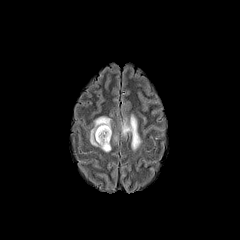
FLAIR MR.
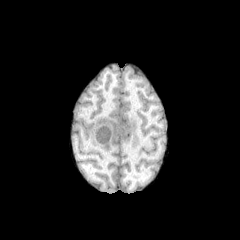
T1-weighted magnetic resonance.
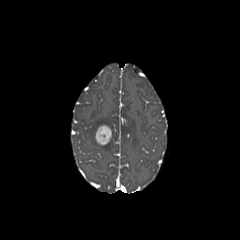
Post-contrast T1-weighted MRI.
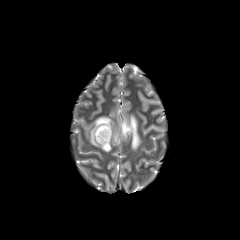
Same slice, T2-weighted magnetic resonance.
Axial view
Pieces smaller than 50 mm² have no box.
peritumoral edema — box(122, 115, 140, 149); box(90, 116, 111, 151)
enhancing tumor — box(95, 125, 111, 145)